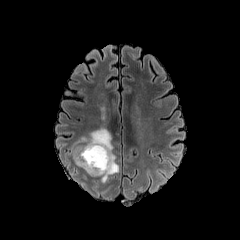
FLAIR magnetic resonance.
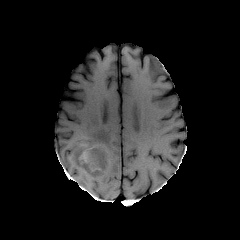
Same slice, T1-weighted magnetic resonance.
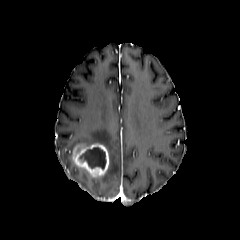
Post-contrast T1-weighted MRI.
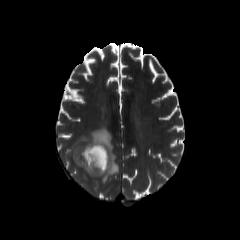
Same slice, T2-weighted MRI.
Image size 240x240 | Brain
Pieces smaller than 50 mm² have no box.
peritumoral_edema:
  - {"x1": 67, "y1": 128, "x2": 119, "y2": 182}
enhancing_tumor:
  - {"x1": 72, "y1": 143, "x2": 109, "y2": 176}
necrotic_tumor_core:
  - {"x1": 79, "y1": 147, "x2": 105, "y2": 168}